FLAIR MRI.
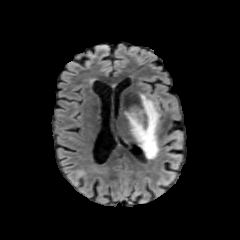
T1-weighted MR image.
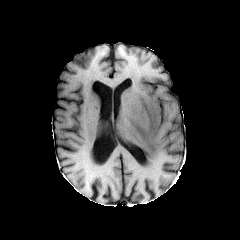
Post-contrast T1-weighted MRI.
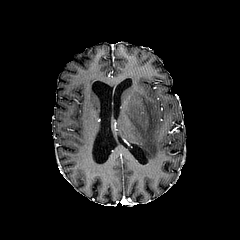
T2-weighted MR image.
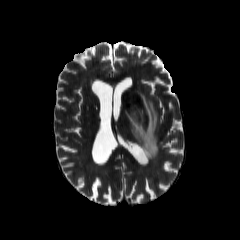
Brain; Axial slice; 240x240
Segmented structures:
* peritumoral edema: bbox=[118, 92, 158, 159]